FLAIR magnetic resonance.
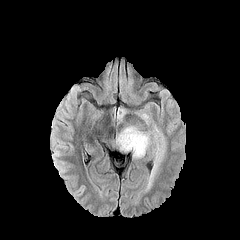
T1-weighted MR.
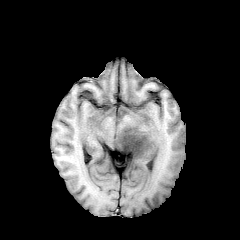
Post-contrast T1-weighted MR.
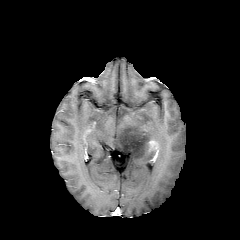
T2-weighted MR image.
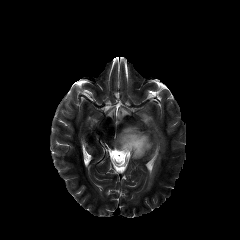
Image size 240x240.
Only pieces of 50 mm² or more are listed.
* enhancing tumor: 148 140 158 151
* peritumoral edema: 117 108 126 120, 141 113 150 124, 115 125 165 179